Brain. Axial view. Image size 240x240.
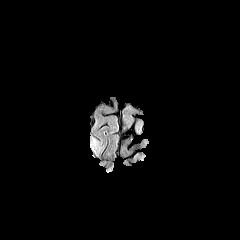
FLAIR MRI.
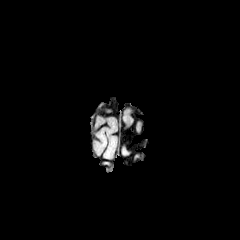
T1-weighted MR.
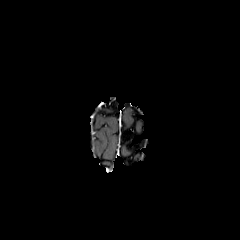
Post-contrast T1-weighted MR image.
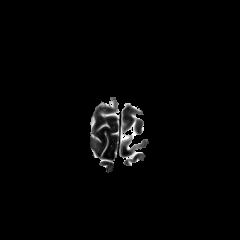
T2-weighted magnetic resonance of the same slice.
peritumoral edema = (92,139,97,148)